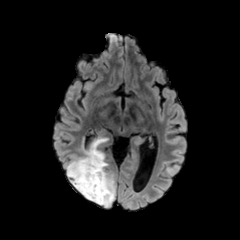
FLAIR MR image.
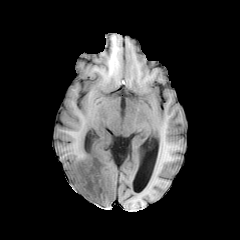
T1-weighted magnetic resonance.
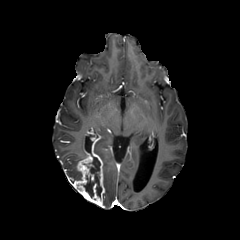
Post-contrast T1-weighted magnetic resonance.
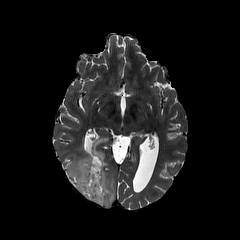
Same slice, T2-weighted MR image.
Axial slice | Head
{"enhancing_tumor": ["(71, 148, 105, 206)"], "necrotic_tumor_core": ["(83, 157, 101, 198)"], "peritumoral_edema": ["(66, 136, 115, 207)"]}